Image width 240 mm, Head, Axial view
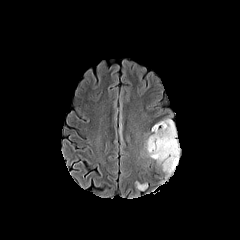
FLAIR MR.
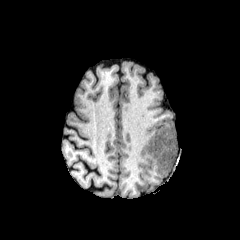
T1-weighted magnetic resonance.
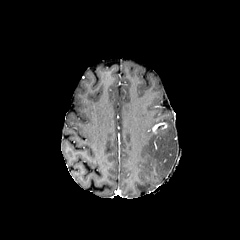
Post-contrast T1-weighted MR image.
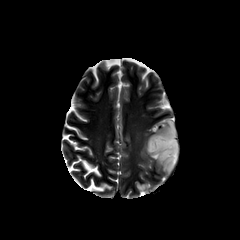
T2-weighted MR image.
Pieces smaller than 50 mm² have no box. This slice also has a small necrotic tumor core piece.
enhancing tumor: bounding box [152,122,167,133]
peritumoral edema: bounding box [136,181,148,190], [120,103,124,146], [144,118,179,183]